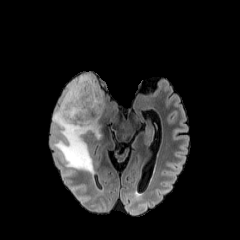
FLAIR MR.
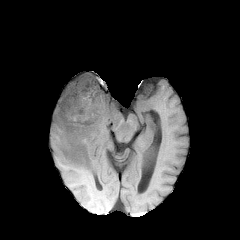
T1-weighted MRI of the same slice.
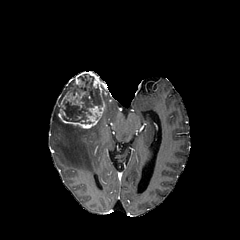
Same slice, post-contrast T1-weighted magnetic resonance.
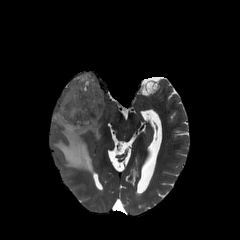
T2-weighted MR image.
Head; 240x240 px; Axial plane
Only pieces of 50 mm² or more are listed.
peritumoral edema at 53 79 100 172
necrotic tumor core at 62 75 102 123
enhancing tumor at 58 71 105 128